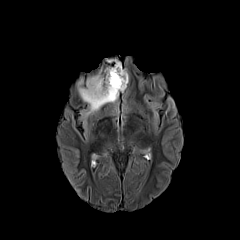
FLAIR magnetic resonance.
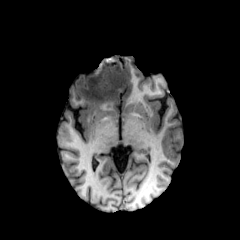
T1-weighted MR image.
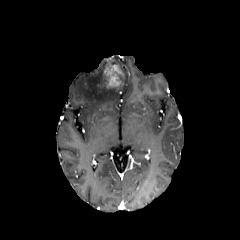
Same slice, post-contrast T1-weighted MR image.
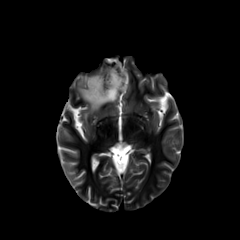
T2-weighted magnetic resonance.
Axial view.
enhancing tumor — 104, 64, 124, 88
peritumoral edema — 77, 59, 128, 114